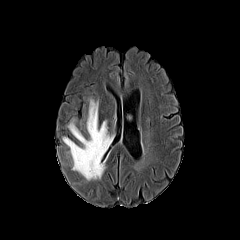
FLAIR magnetic resonance.
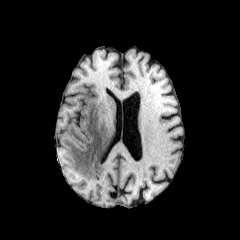
T1-weighted MRI of the same slice.
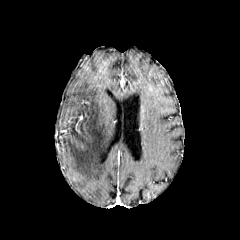
Post-contrast T1-weighted MR.
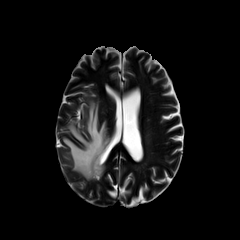
T2-weighted MR.
Head, Axial slice
The peritumoral edema appears at x1=63 y1=99 x2=109 y2=180.